FLAIR MR.
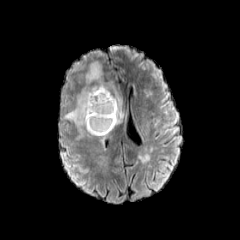
T1-weighted MR.
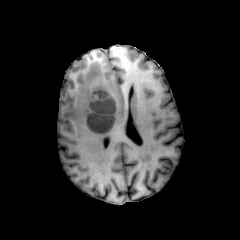
Post-contrast T1-weighted magnetic resonance.
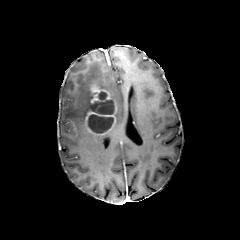
T2-weighted MR image.
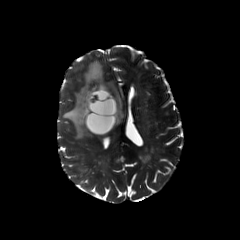
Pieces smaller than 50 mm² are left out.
peritumoral edema: 63,61,123,132 | enhancing tumor: 85,83,116,135 | necrotic tumor core: 88,114,113,133; 90,91,114,114